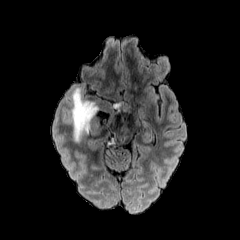
FLAIR MR image.
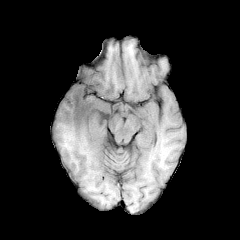
T1-weighted magnetic resonance.
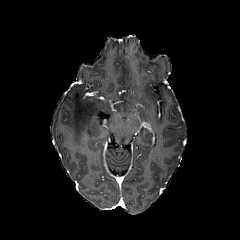
Post-contrast T1-weighted MR.
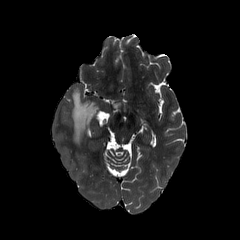
T2-weighted MRI.
Axial view; Brain
{
  "peritumoral_edema": [
    {"x1": 71, "y1": 88, "x2": 98, "y2": 142},
    {"x1": 113, "y1": 101, "x2": 123, "y2": 112}
  ]
}